Axial view | 240x240
FLAIR MRI.
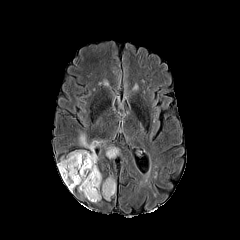
T1-weighted MR.
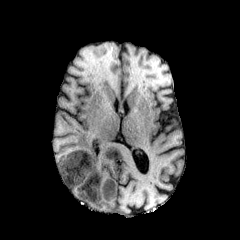
Post-contrast T1-weighted MR.
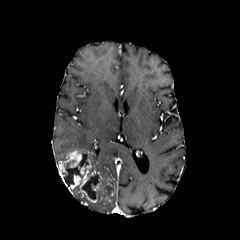
T2-weighted MR.
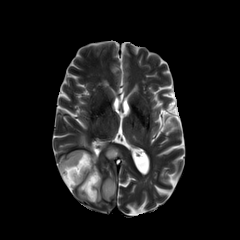
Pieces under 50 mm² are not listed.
peritumoral edema: 105, 145, 118, 158; 80, 135, 104, 171
enhancing tumor: 57, 150, 107, 202
necrotic tumor core: 82, 174, 99, 199; 78, 153, 88, 168; 62, 163, 82, 186